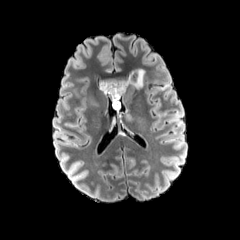
FLAIR MR image.
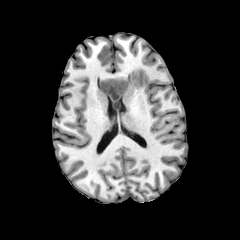
T1-weighted magnetic resonance.
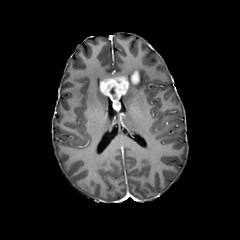
Same slice, post-contrast T1-weighted MR image.
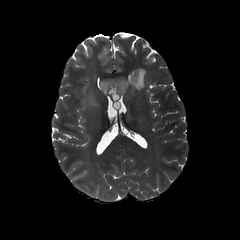
T2-weighted magnetic resonance.
Head
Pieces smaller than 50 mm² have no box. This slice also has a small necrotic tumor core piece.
peritumoral edema: bounding box [x1=125, y1=67, x2=145, y2=90], [x1=87, y1=95, x2=97, y2=106], [x1=73, y1=88, x2=82, y2=97], [x1=125, y1=114, x2=132, y2=121]
enhancing tumor: bounding box [x1=99, y1=76, x2=128, y2=111], [x1=130, y1=71, x2=140, y2=84]